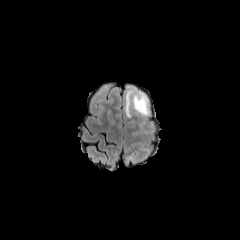
FLAIR MR.
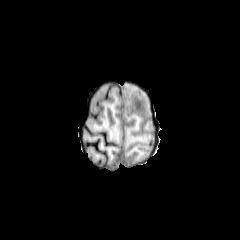
T1-weighted MR.
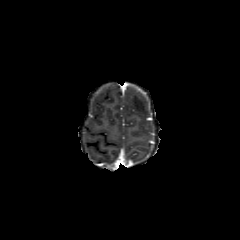
Post-contrast T1-weighted magnetic resonance.
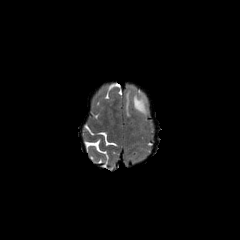
T2-weighted MR.
Head | Image size 240x240
peritumoral edema — bbox=[125, 88, 134, 116]; bbox=[133, 92, 149, 115]